Image size 240x240
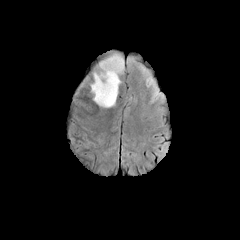
FLAIR magnetic resonance.
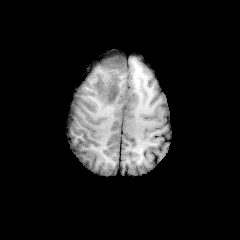
T1-weighted MR image.
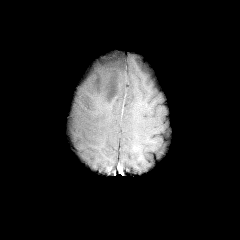
Same slice, post-contrast T1-weighted MR image.
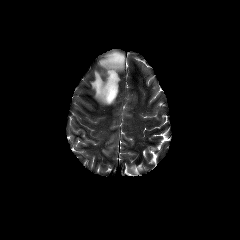
T2-weighted MR image.
The peritumoral edema is at x1=90, y1=52, x2=124, y2=106.